Head. Slice 41/155.
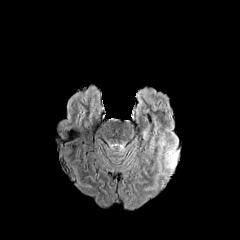
FLAIR MR.
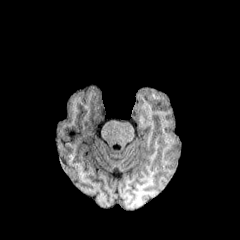
T1-weighted magnetic resonance.
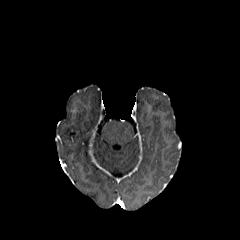
Post-contrast T1-weighted magnetic resonance of the same slice.
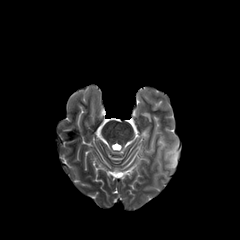
T2-weighted MR.
<segmentation>
  <peritumoral_edema>left=158, top=137, right=179, bottom=171</peritumoral_edema>
</segmentation>